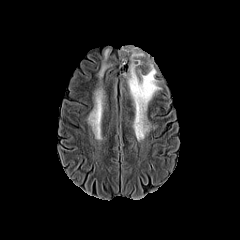
FLAIR MRI.
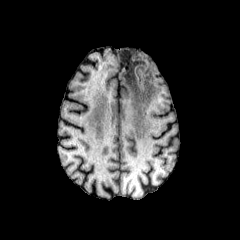
Same slice, T1-weighted MR.
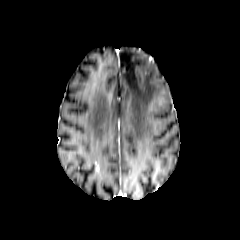
Post-contrast T1-weighted MRI.
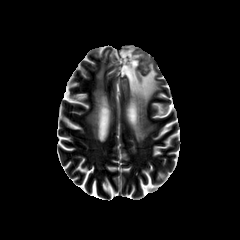
Same slice, T2-weighted MR image.
Brain
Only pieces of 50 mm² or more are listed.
peritumoral edema = 99:64:109:77, 88:92:103:130, 120:48:160:140